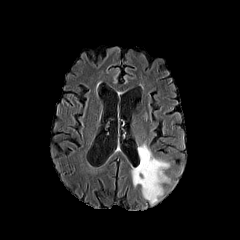
FLAIR MRI.
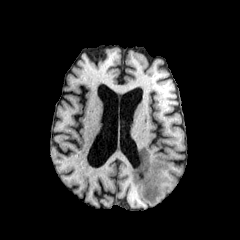
T1-weighted magnetic resonance of the same slice.
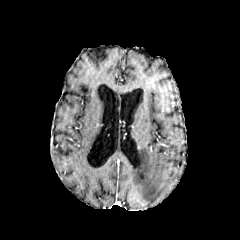
Post-contrast T1-weighted MR image of the same slice.
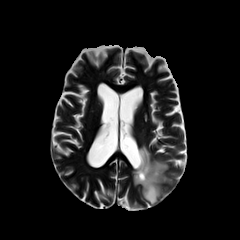
Same slice, T2-weighted MR image.
240x240 px. Axial plane.
peritumoral_edema:
  - rect(132, 144, 169, 204)